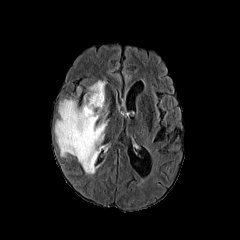
FLAIR MR.
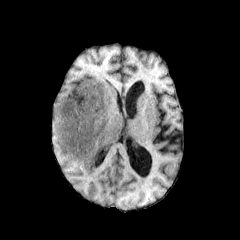
T1-weighted magnetic resonance.
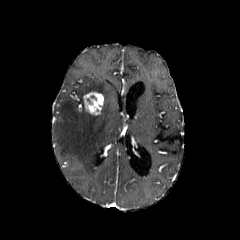
Post-contrast T1-weighted MR image.
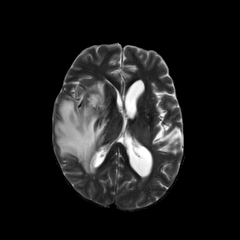
T2-weighted MRI.
Axial plane
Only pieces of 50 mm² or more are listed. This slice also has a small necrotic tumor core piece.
<segmentation>
  <peritumoral_edema>[x1=55, y1=80, x2=108, y2=174]</peritumoral_edema>
  <enhancing_tumor>[x1=84, y1=92, x2=103, y2=115]</enhancing_tumor>
</segmentation>